Brain. Image covers 240 mm x 240 mm. Axial view.
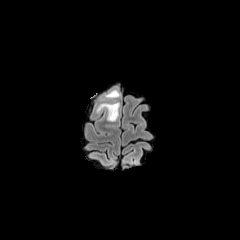
FLAIR magnetic resonance.
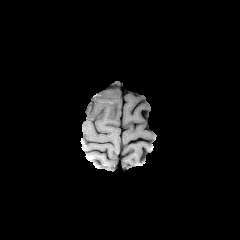
Same slice, T1-weighted MRI.
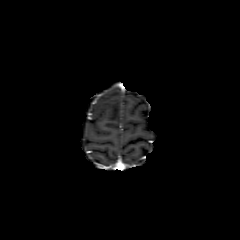
Same slice, post-contrast T1-weighted MRI.
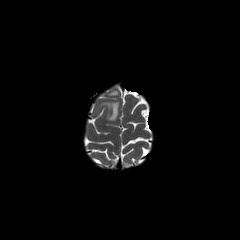
T2-weighted MR image of the same slice.
Annotated regions:
• peritumoral edema: (105, 89, 119, 97), (97, 101, 119, 121)